Axial plane, Brain, Slice index 84
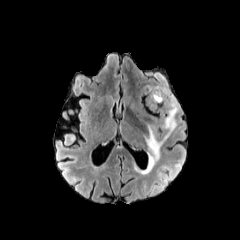
FLAIR magnetic resonance.
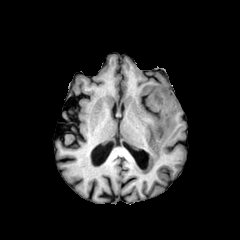
T1-weighted magnetic resonance of the same slice.
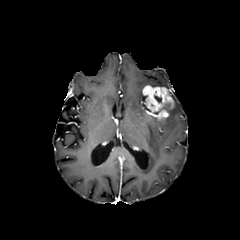
Post-contrast T1-weighted MR.
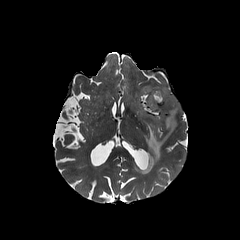
Same slice, T2-weighted MR.
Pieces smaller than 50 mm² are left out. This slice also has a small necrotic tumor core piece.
<segmentation>
  <enhancing_tumor>142,85,173,121</enhancing_tumor>
  <peritumoral_edema>133,92,179,173</peritumoral_edema>
</segmentation>